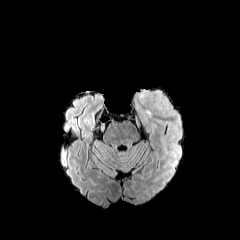
FLAIR magnetic resonance.
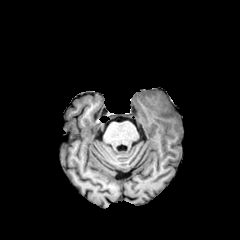
T1-weighted MR image of the same slice.
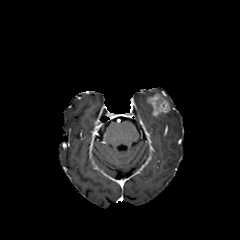
Post-contrast T1-weighted magnetic resonance.
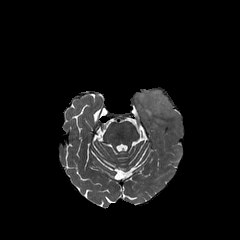
T2-weighted magnetic resonance.
Axial view. 240x240 px.
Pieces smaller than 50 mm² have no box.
The largest enhancing tumor region is bounded by <bbox>147, 93, 170, 116</bbox>. The 2 largest peritumoral edema regions are located at <bbox>136, 90, 162, 117</bbox>, <bbox>159, 96, 179, 133</bbox>.